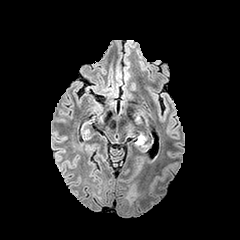
FLAIR MR image.
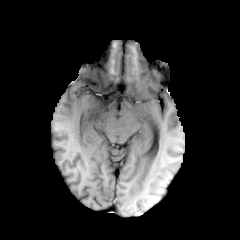
T1-weighted MR.
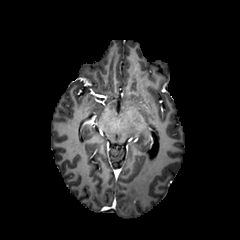
Post-contrast T1-weighted MRI of the same slice.
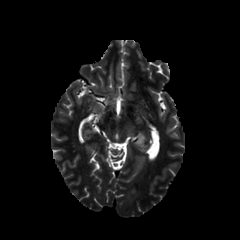
Same slice, T2-weighted MR.
Brain
2 peritumoral edema regions are bounded by 124 124 134 135, 136 135 146 143.